FLAIR MR.
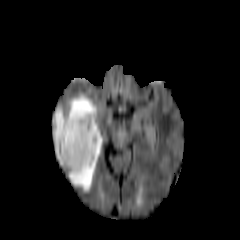
T1-weighted MR.
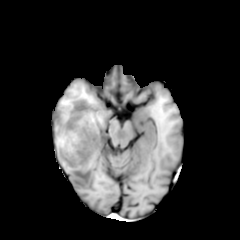
Post-contrast T1-weighted MR.
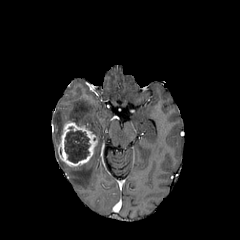
T2-weighted magnetic resonance.
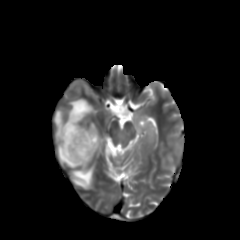
240x240
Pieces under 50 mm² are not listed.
{
  "necrotic_tumor_core": [
    "left=64, top=131, right=89, bottom=163"
  ],
  "peritumoral_edema": [
    "left=52, top=91, right=102, bottom=194"
  ],
  "enhancing_tumor": [
    "left=58, top=121, right=97, bottom=166"
  ]
}